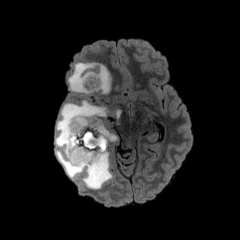
FLAIR MR.
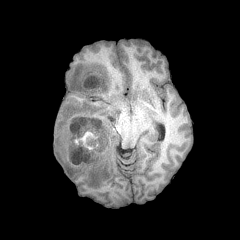
T1-weighted MR image.
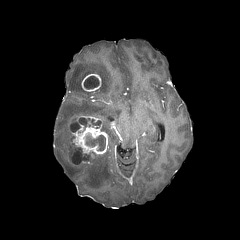
Post-contrast T1-weighted MR image.
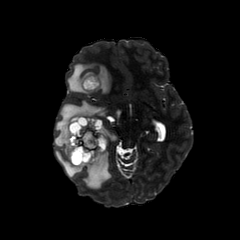
T2-weighted MRI of the same slice.
Brain | Axial slice
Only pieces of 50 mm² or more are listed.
The 4 largest necrotic tumor core regions are located at 70, 117, 100, 132; 71, 147, 91, 164; 84, 76, 99, 89; 85, 134, 105, 150. The 3 largest peritumoral edema regions appear at 55, 100, 111, 189; 102, 125, 116, 141; 68, 62, 111, 93. 2 enhancing tumor regions appear at 81, 73, 101, 91; 68, 115, 108, 165.